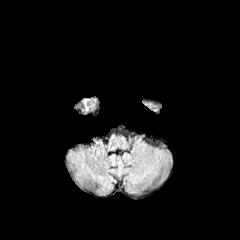
FLAIR MR.
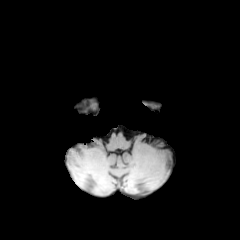
Same slice, T1-weighted MR.
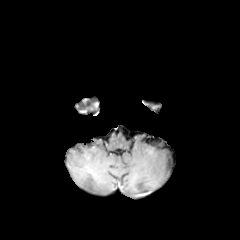
Same slice, post-contrast T1-weighted MRI.
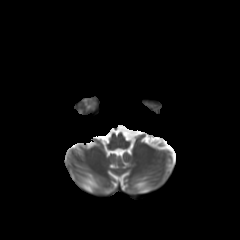
T2-weighted magnetic resonance.
peritumoral_edema:
  - bbox=[146, 101, 159, 110]